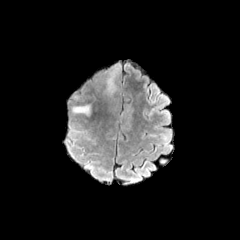
FLAIR MR.
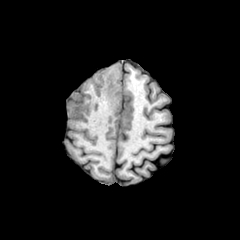
T1-weighted MR.
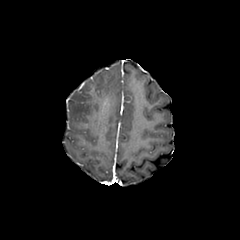
Post-contrast T1-weighted MR image.
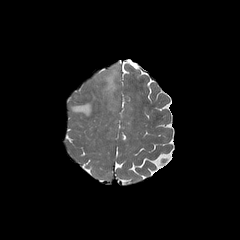
T2-weighted MR image.
Axial plane, Head, Image size 240x240
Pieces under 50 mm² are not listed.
Findings:
- peritumoral edema: [71, 104, 91, 115], [103, 64, 120, 97]